FLAIR MR.
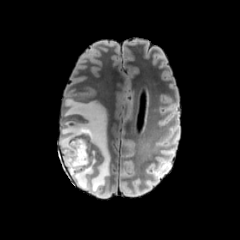
T1-weighted MR image.
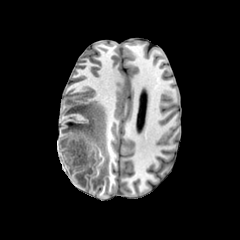
Post-contrast T1-weighted magnetic resonance.
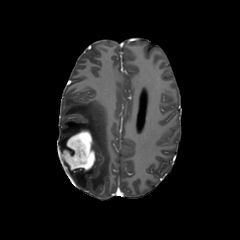
T2-weighted MR image.
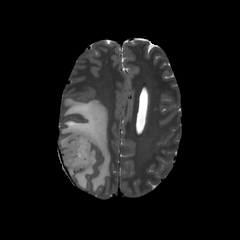
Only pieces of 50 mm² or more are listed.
Annotated regions:
• enhancing tumor: left=61, top=129, right=95, bottom=171
• peritumoral edema: left=58, top=98, right=110, bottom=194